FLAIR MRI.
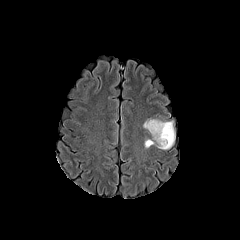
T1-weighted MR.
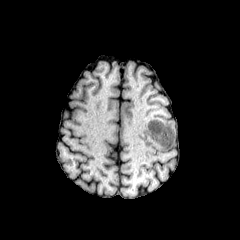
Post-contrast T1-weighted magnetic resonance.
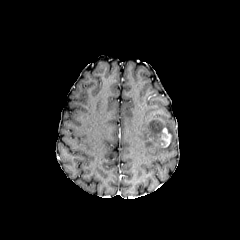
T2-weighted MRI.
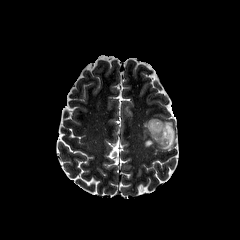
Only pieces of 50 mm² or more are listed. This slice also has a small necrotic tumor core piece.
<segmentation>
  <enhancing_tumor>bbox=[160, 127, 171, 147]</enhancing_tumor>
  <peritumoral_edema>bbox=[143, 119, 175, 149]</peritumoral_edema>
</segmentation>